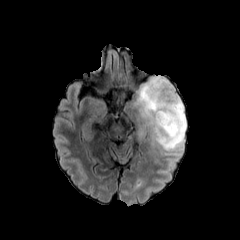
FLAIR MRI.
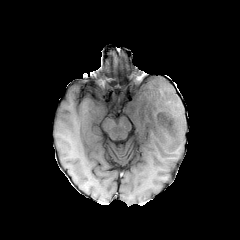
T1-weighted magnetic resonance.
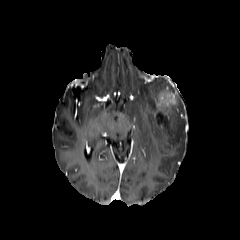
Post-contrast T1-weighted magnetic resonance of the same slice.
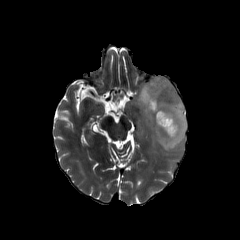
T2-weighted magnetic resonance.
Axial plane. 240x240.
<segmentation>
  <peritumoral_edema>(x1=132, y1=75, x2=186, y2=151)</peritumoral_edema>
  <enhancing_tumor>(x1=158, y1=124, x2=172, y2=132), (x1=153, y1=91, x2=176, y2=130)</enhancing_tumor>
  <necrotic_tumor_core>(x1=156, y1=112, x2=172, y2=130)</necrotic_tumor_core>
</segmentation>